FLAIR magnetic resonance.
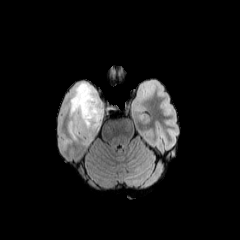
T1-weighted MR.
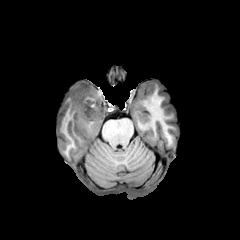
Post-contrast T1-weighted MRI.
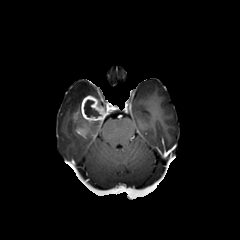
T2-weighted magnetic resonance.
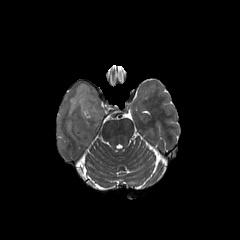
Axial view.
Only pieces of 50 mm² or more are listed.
enhancing tumor = <box>75,95,104,137</box>
necrotic tumor core = <box>84,100,100,117</box>
peritumoral edema = <box>68,82,101,144</box>